FLAIR MRI.
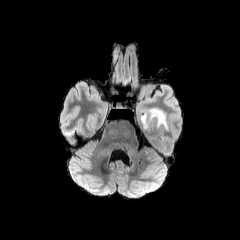
T1-weighted MR image.
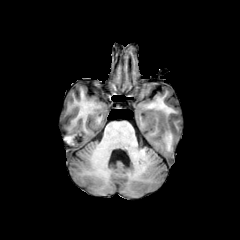
Post-contrast T1-weighted MRI.
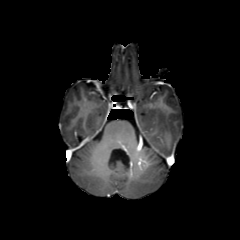
T2-weighted MR image.
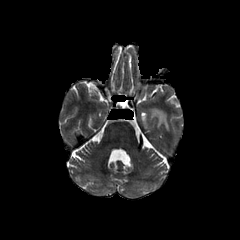
Head, 240x240 px
Annotated regions:
• peritumoral edema: l=149, t=107, r=168, b=130; l=141, t=113, r=149, b=130